Image width 240 mm, Brain, Slice index 68, Axial slice
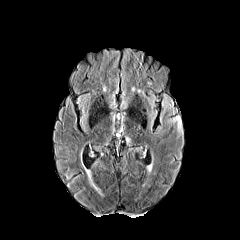
FLAIR MR image.
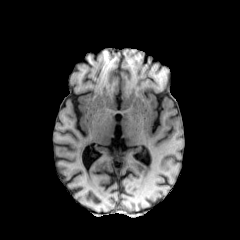
T1-weighted MR.
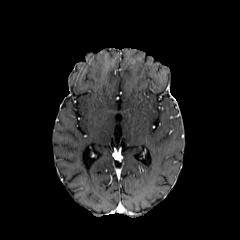
Post-contrast T1-weighted MR image.
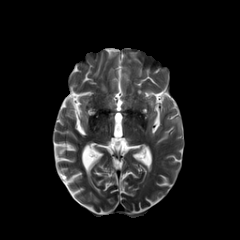
T2-weighted MRI of the same slice.
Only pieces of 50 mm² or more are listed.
peritumoral_edema:
  - {"x1": 162, "y1": 98, "x2": 171, "y2": 109}
  - {"x1": 167, "y1": 117, "x2": 182, "y2": 133}